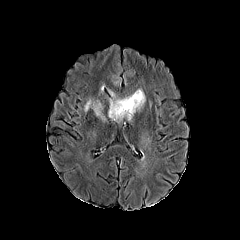
FLAIR MR.
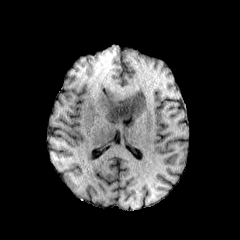
Same slice, T1-weighted MR.
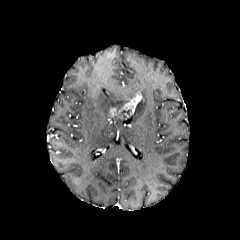
Same slice, post-contrast T1-weighted MRI.
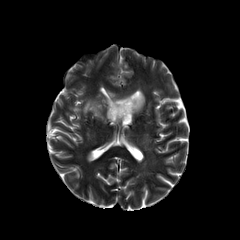
T2-weighted magnetic resonance of the same slice.
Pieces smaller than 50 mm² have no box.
enhancing_tumor:
  - left=119, top=91, right=142, bottom=115
  - left=109, top=108, right=117, bottom=116
necrotic_tumor_core:
  - left=108, top=99, right=131, bottom=118
peritumoral_edema:
  - left=108, top=90, right=135, bottom=107
  - left=136, top=89, right=144, bottom=109
  - left=84, top=100, right=105, bottom=121